Head, Axial plane
FLAIR MR image.
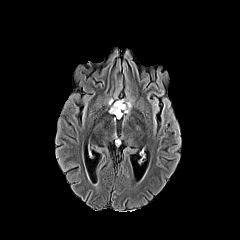
T1-weighted MR image.
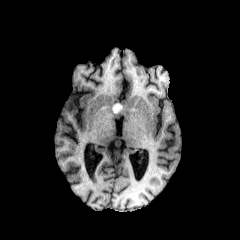
Post-contrast T1-weighted MR.
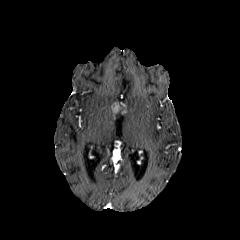
T2-weighted magnetic resonance.
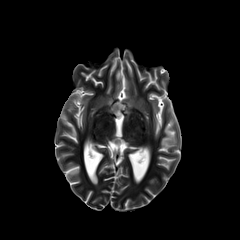
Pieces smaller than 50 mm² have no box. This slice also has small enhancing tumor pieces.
<segmentation>
  <peritumoral_edema>121:99:132:114</peritumoral_edema>
  <necrotic_tumor_core>113:103:124:118</necrotic_tumor_core>
</segmentation>